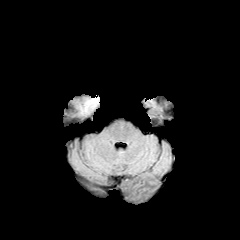
FLAIR MR.
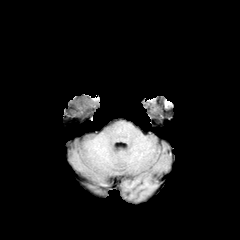
T1-weighted MR image of the same slice.
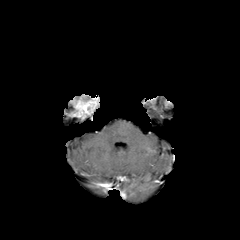
Post-contrast T1-weighted MRI of the same slice.
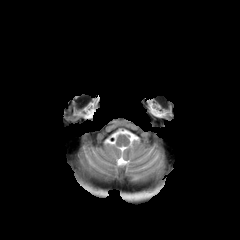
T2-weighted magnetic resonance.
{
  "enhancing_tumor": [
    "<box>69,97,99,118</box>"
  ]
}